FLAIR MRI.
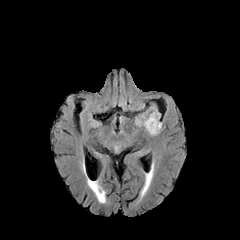
T1-weighted magnetic resonance.
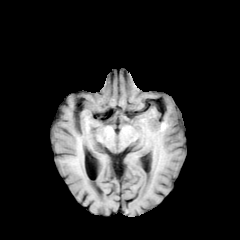
Post-contrast T1-weighted MR image.
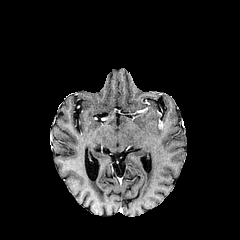
T2-weighted MRI.
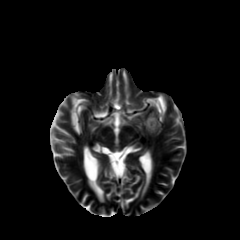
Head | Image size 240x240
peritumoral edema = 145:116:158:132